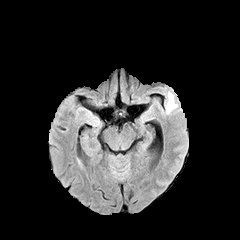
FLAIR MRI.
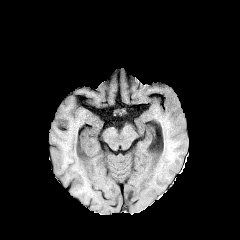
T1-weighted MR image.
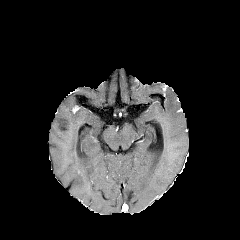
Post-contrast T1-weighted MR of the same slice.
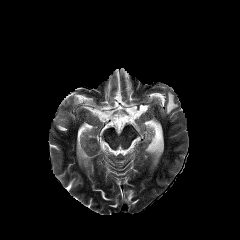
T2-weighted MR.
Axial view. Head.
peritumoral edema = (left=165, top=91, right=178, bottom=114)